FLAIR MR.
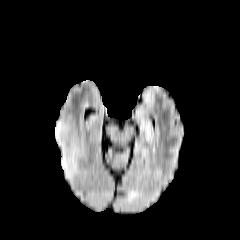
T1-weighted MR image.
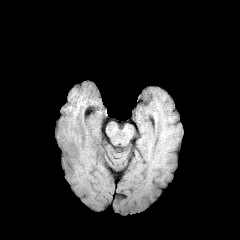
Post-contrast T1-weighted MR.
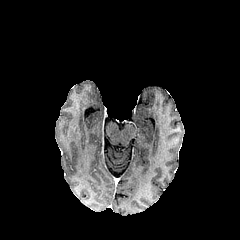
T2-weighted MR.
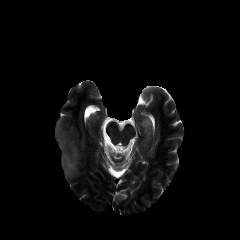
Axial slice, Head
The peritumoral edema is bounded by left=55, top=122, right=77, bottom=177.